FLAIR MRI.
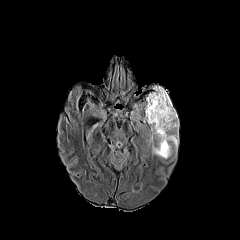
T1-weighted MRI.
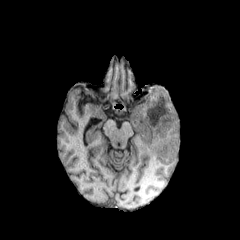
Post-contrast T1-weighted magnetic resonance.
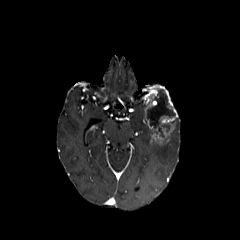
T2-weighted MR.
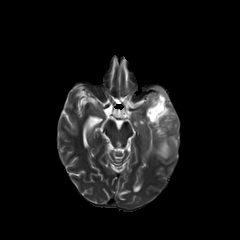
240x240, Head
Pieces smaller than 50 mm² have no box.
necrotic_tumor_core:
  - left=147, top=89, right=175, bottom=137
peritumoral_edema:
  - left=157, top=118, right=178, bottom=158
enhancing_tumor:
  - left=144, top=85, right=177, bottom=144